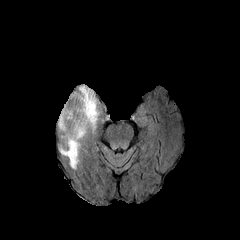
FLAIR magnetic resonance.
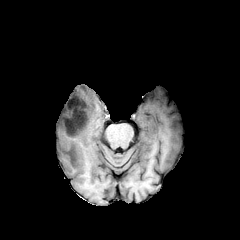
T1-weighted MR.
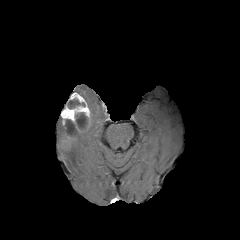
Post-contrast T1-weighted MR image.
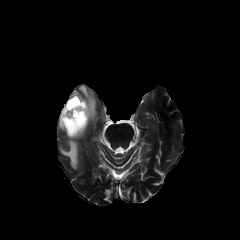
T2-weighted MRI.
Head.
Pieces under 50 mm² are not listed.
Segmented structures:
• peritumoral edema: <box>77,84,100,132</box>, <box>59,131,88,169</box>, <box>58,115,63,132</box>
• enhancing tumor: <box>61,92,91,139</box>
• necrotic tumor core: <box>66,119,76,137</box>, <box>76,113,87,130</box>, <box>68,99,80,108</box>